Slice index 88 | Image width 240 mm, 1.00 mm slice spacing
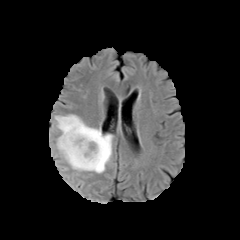
FLAIR MRI.
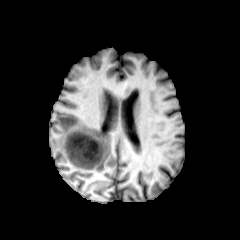
T1-weighted magnetic resonance.
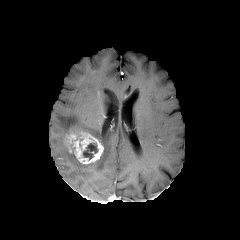
Same slice, post-contrast T1-weighted magnetic resonance.
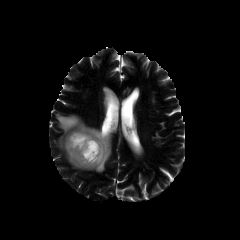
Same slice, T2-weighted MRI.
The enhancing tumor is at box=[64, 130, 103, 164]. The necrotic tumor core is bounded by box=[83, 143, 97, 159]. The peritumoral edema appears at box=[55, 114, 112, 173].